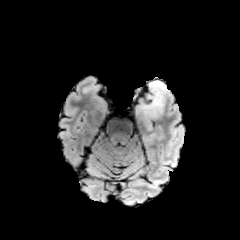
FLAIR MR image.
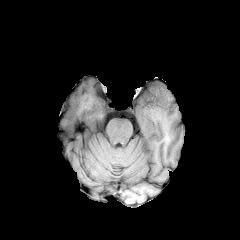
T1-weighted MR image.
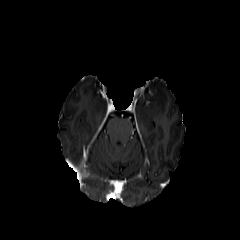
Post-contrast T1-weighted MR.
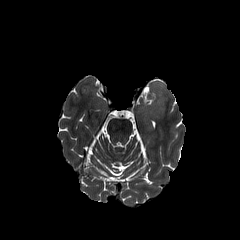
Same slice, T2-weighted MR.
Axial slice. Head.
peritumoral edema at [135, 81, 167, 118]